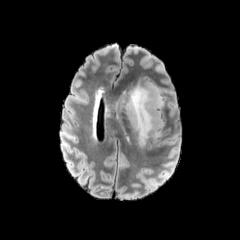
FLAIR MR image.
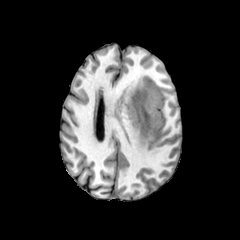
T1-weighted MRI.
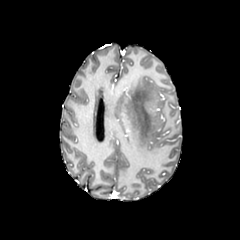
Same slice, post-contrast T1-weighted MRI.
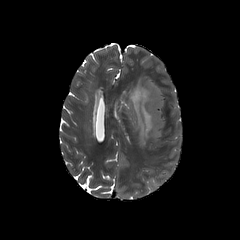
T2-weighted magnetic resonance.
Axial plane
peritumoral edema: (120,76,164,147)